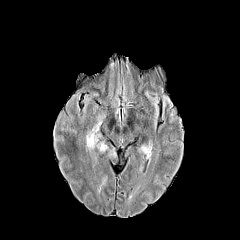
FLAIR MR image.
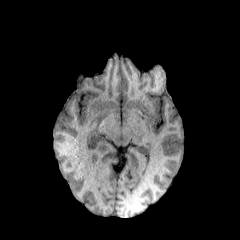
T1-weighted MRI of the same slice.
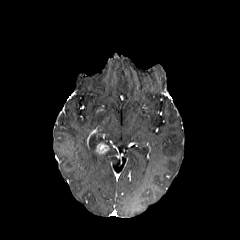
Same slice, post-contrast T1-weighted magnetic resonance.
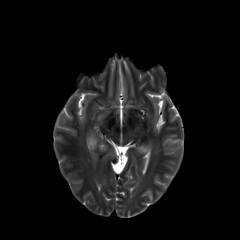
T2-weighted MR.
Head
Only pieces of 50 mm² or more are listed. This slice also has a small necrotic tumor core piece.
enhancing tumor: <box>96,143,108,153</box> | peritumoral edema: <box>86,116,104,149</box>, <box>106,147,117,158</box>